Head; Axial view; Image size 240x240
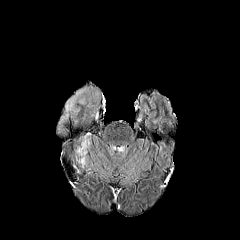
FLAIR magnetic resonance.
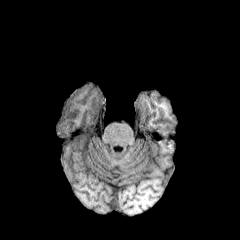
T1-weighted MRI of the same slice.
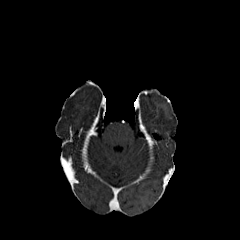
Post-contrast T1-weighted MR image.
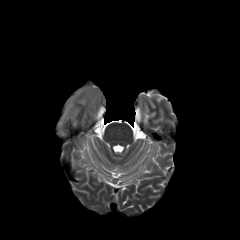
T2-weighted MR image.
2 peritumoral edema regions are located at 56:87:88:133, 78:90:100:107.